FLAIR MR.
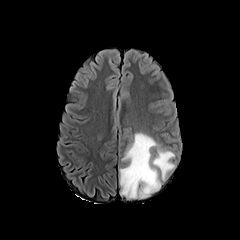
T1-weighted MR.
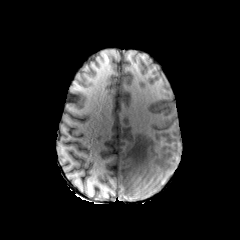
Post-contrast T1-weighted MRI.
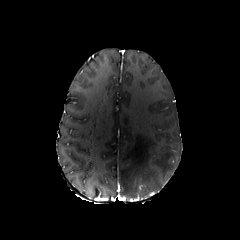
T2-weighted magnetic resonance.
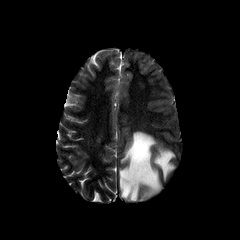
Head | 240x240
The peritumoral edema appears at 119:132:174:198.